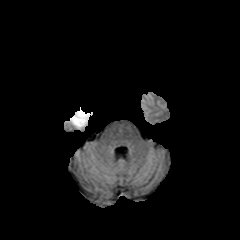
FLAIR MR image.
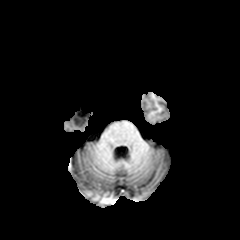
T1-weighted MR image of the same slice.
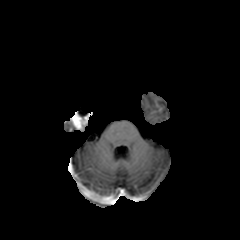
Same slice, post-contrast T1-weighted MR image.
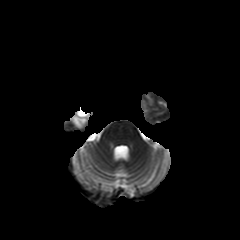
T2-weighted MR.
Axial view | Brain
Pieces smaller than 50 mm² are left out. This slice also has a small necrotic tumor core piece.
enhancing tumor: x1=70, y1=111, x2=92, y2=129